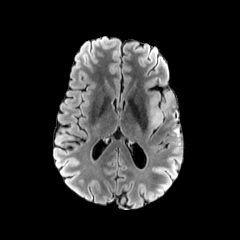
FLAIR MRI.
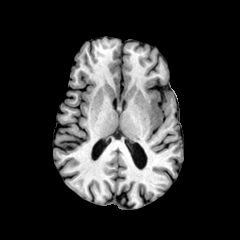
T1-weighted MR of the same slice.
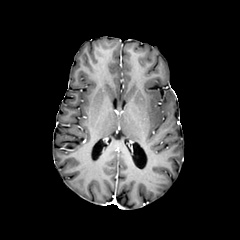
Same slice, post-contrast T1-weighted MRI.
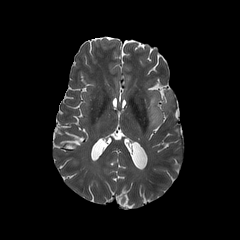
T2-weighted magnetic resonance of the same slice.
Head; Axial slice
<segmentation>
  <peritumoral_edema>box=[149, 94, 162, 128]; box=[162, 92, 172, 109]</peritumoral_edema>
</segmentation>